FLAIR MR image.
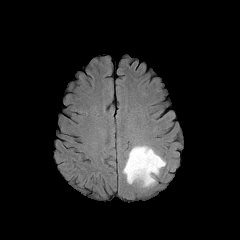
T1-weighted magnetic resonance.
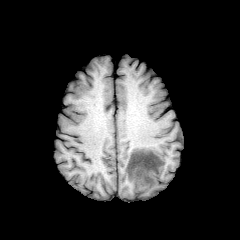
Post-contrast T1-weighted MRI.
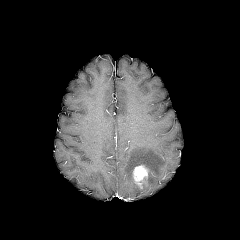
T2-weighted magnetic resonance.
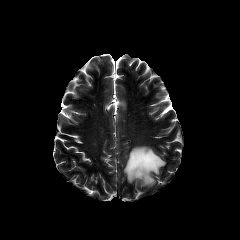
Brain.
The peritumoral edema is at x1=123 y1=145 x2=165 y2=187. The enhancing tumor appears at x1=132 y1=165 x2=148 y2=187.